Brain.
FLAIR MRI.
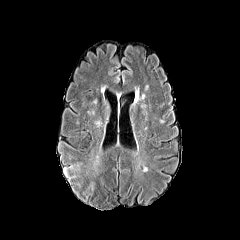
T1-weighted MR image.
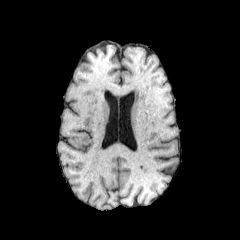
Post-contrast T1-weighted MRI.
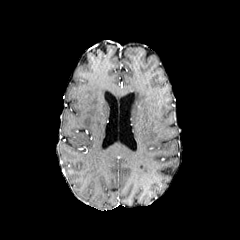
T2-weighted MR.
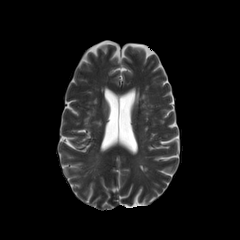
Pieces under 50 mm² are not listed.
{"peritumoral_edema": ["left=64, top=167, right=75, bottom=179"]}